FLAIR MRI.
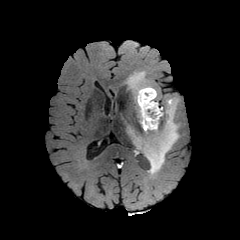
T1-weighted magnetic resonance.
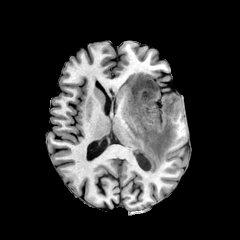
Post-contrast T1-weighted MR.
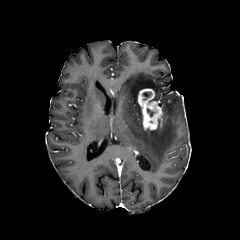
T2-weighted magnetic resonance.
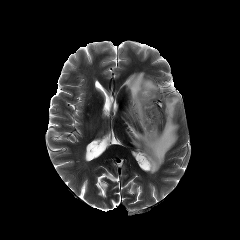
Axial plane. Head.
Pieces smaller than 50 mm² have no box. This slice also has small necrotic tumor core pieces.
peritumoral edema: x1=127 y1=96 x2=179 y2=174, x1=125 y1=71 x2=158 y2=127 | enhancing tumor: x1=138 y1=88 x2=162 y2=130